FLAIR MRI.
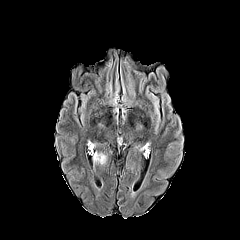
T1-weighted MR image.
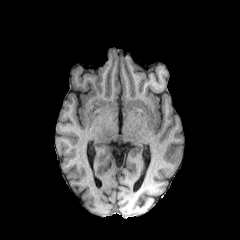
Post-contrast T1-weighted MR.
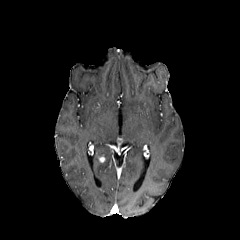
T2-weighted MR.
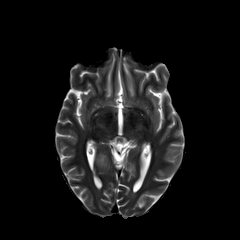
Axial view
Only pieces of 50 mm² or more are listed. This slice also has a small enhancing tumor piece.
peritumoral_edema:
  - rect(94, 152, 102, 163)